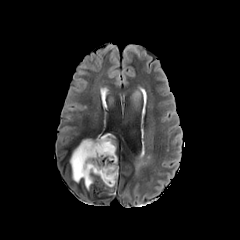
FLAIR MRI.
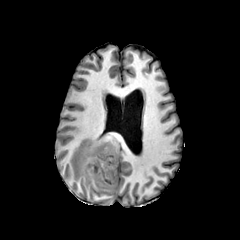
Same slice, T1-weighted MR image.
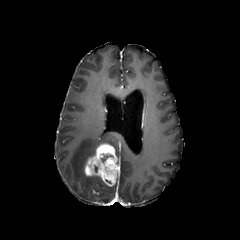
Post-contrast T1-weighted MR image.
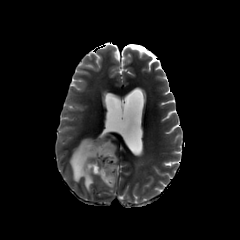
T2-weighted magnetic resonance.
Brain
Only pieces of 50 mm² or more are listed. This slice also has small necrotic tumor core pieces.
{
  "enhancing_tumor": [
    "(x1=84, y1=143, x2=119, y2=186)"
  ],
  "peritumoral_edema": [
    "(x1=70, y1=134, x2=116, y2=190)"
  ]
}